Slice 139/155; Image size 240x240
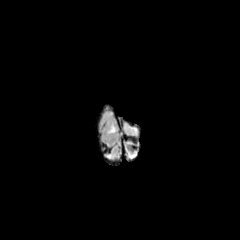
FLAIR MRI.
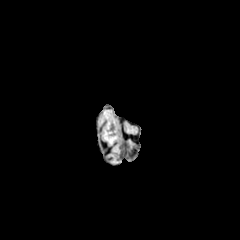
T1-weighted magnetic resonance.
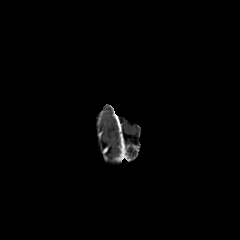
Post-contrast T1-weighted MR image.
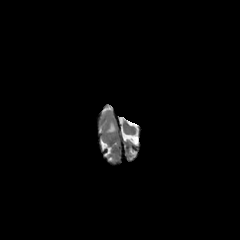
T2-weighted magnetic resonance.
peritumoral edema = [108,123,115,132]